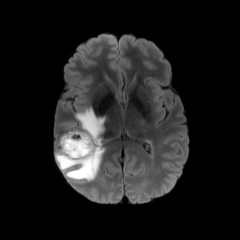
FLAIR MR.
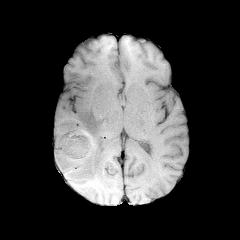
T1-weighted MR.
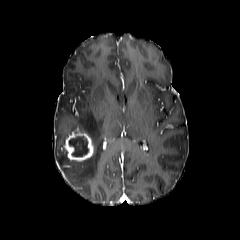
Same slice, post-contrast T1-weighted MRI.
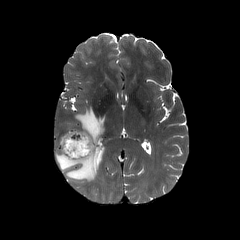
T2-weighted MRI of the same slice.
Axial view
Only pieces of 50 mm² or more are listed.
enhancing tumor at [63,132,94,161]
necrotic tumor core at [69,136,88,156]
peritumoral edema at [55,107,104,181]